FLAIR MRI.
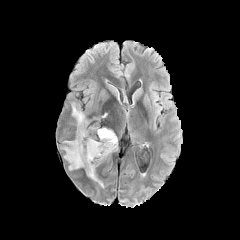
T1-weighted magnetic resonance.
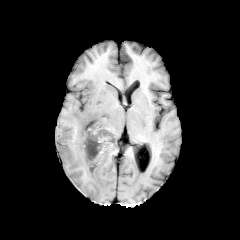
Post-contrast T1-weighted MR image.
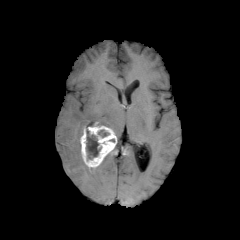
T2-weighted MRI.
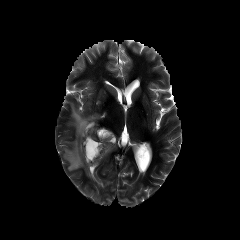
Head
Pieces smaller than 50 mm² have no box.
{"necrotic_tumor_core": ["<box>98,130,108,137</box>", "<box>86,129,100,159</box>"], "peritumoral_edema": ["<box>72,105,86,125</box>", "<box>63,122,103,188</box>"], "enhancing_tumor": ["<box>74,120,117,173</box>"]}